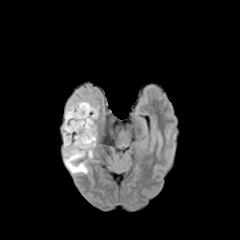
FLAIR MR image.
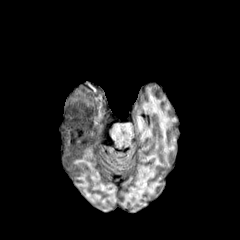
T1-weighted magnetic resonance.
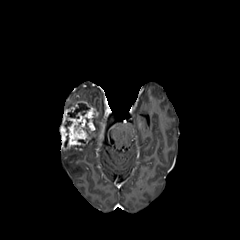
Post-contrast T1-weighted MRI of the same slice.
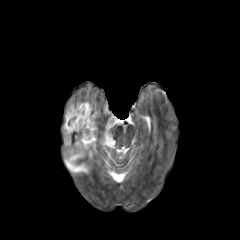
Same slice, T2-weighted magnetic resonance.
Head
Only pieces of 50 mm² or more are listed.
enhancing_tumor:
  - x1=60 y1=99 x2=98 y2=150
peritumoral_edema:
  - x1=64 y1=147 x2=87 y2=173
necrotic_tumor_core:
  - x1=67 y1=103 x2=89 y2=118